FLAIR magnetic resonance.
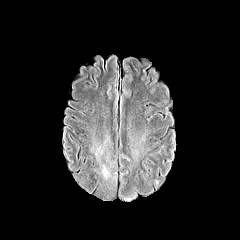
T1-weighted MR image.
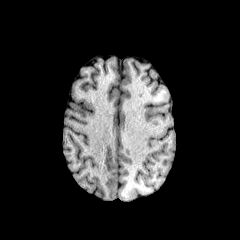
Post-contrast T1-weighted MRI.
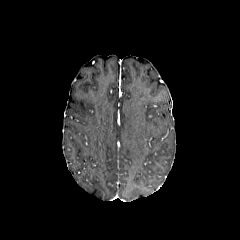
T2-weighted MRI.
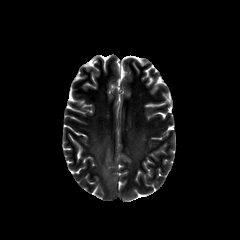
Image size 240x240
<segmentation>
  <peritumoral_edema>left=90, top=134, right=112, bottom=180</peritumoral_edema>
</segmentation>